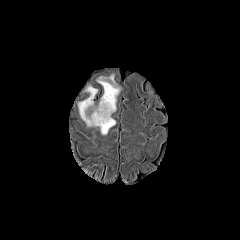
FLAIR magnetic resonance.
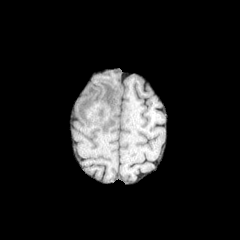
T1-weighted MR.
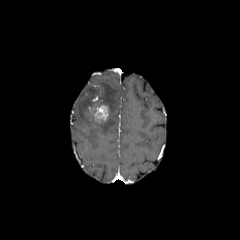
Post-contrast T1-weighted magnetic resonance of the same slice.
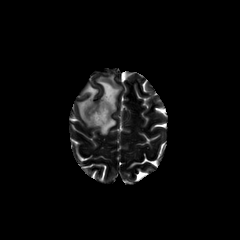
T2-weighted magnetic resonance.
The enhancing tumor is at 88:104:108:123. The peritumoral edema is bounded by 78:75:120:134.